FLAIR MRI.
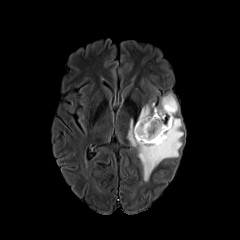
T1-weighted MR.
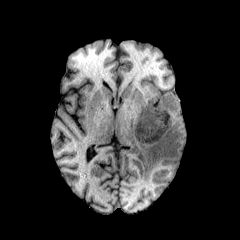
Post-contrast T1-weighted MR.
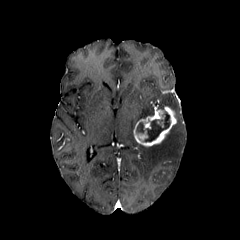
T2-weighted magnetic resonance.
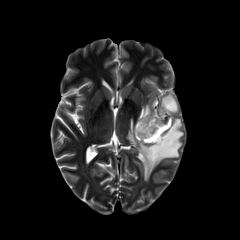
Head | Axial view
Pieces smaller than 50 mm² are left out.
enhancing tumor — 133 106 176 146
necrotic tumor core — 144 112 170 141, 136 122 144 132
peritumoral edema — 138 104 154 120, 127 118 183 181, 158 93 178 116